FLAIR magnetic resonance.
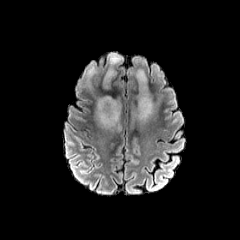
T1-weighted MRI.
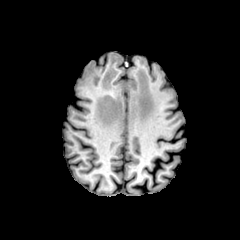
Post-contrast T1-weighted MR.
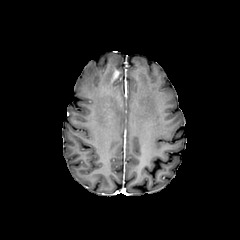
T2-weighted MR image.
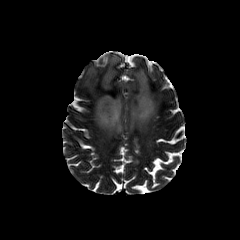
Brain
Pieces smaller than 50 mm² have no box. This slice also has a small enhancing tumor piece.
3 peritumoral edema regions are bounded by [104, 53, 121, 88], [96, 96, 120, 131], [133, 69, 154, 125].